FLAIR magnetic resonance.
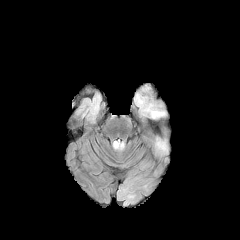
T1-weighted MRI.
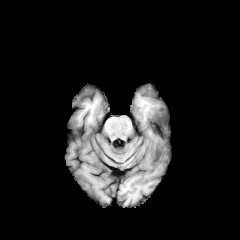
Post-contrast T1-weighted magnetic resonance.
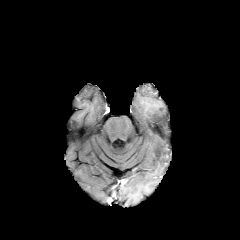
T2-weighted MRI.
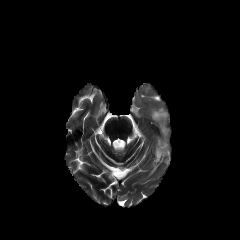
Axial view.
Segmented structures:
* peritumoral edema: (152,111,163,118)